FLAIR MRI.
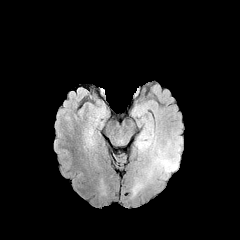
T1-weighted MRI.
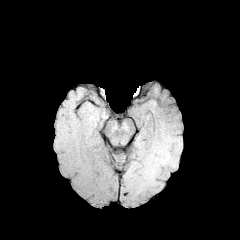
Post-contrast T1-weighted magnetic resonance.
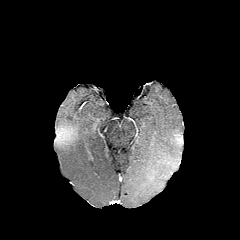
T2-weighted MRI.
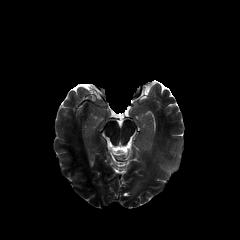
peritumoral_edema:
  - (left=134, top=125, right=182, bottom=193)